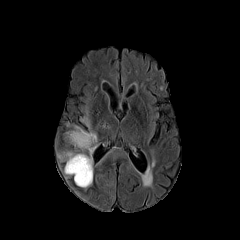
FLAIR MR.
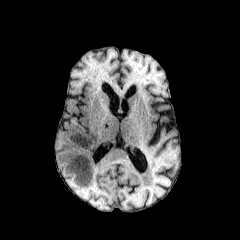
T1-weighted MR.
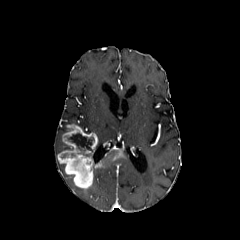
Same slice, post-contrast T1-weighted MR image.
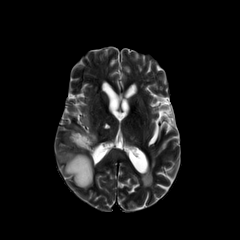
Same slice, T2-weighted MRI.
Axial plane
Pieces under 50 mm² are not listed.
{
  "enhancing_tumor": [
    "rect(58, 124, 126, 188)"
  ],
  "necrotic_tumor_core": [
    "rect(68, 133, 94, 156)"
  ],
  "peritumoral_edema": [
    "rect(79, 114, 93, 133)"
  ]
}